Brain, 240x240, Image covers 240 mm x 240 mm, Slice index 120
FLAIR MRI.
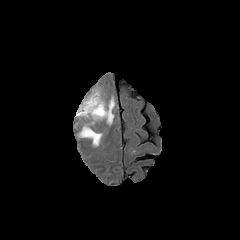
T1-weighted magnetic resonance.
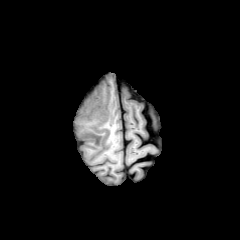
Post-contrast T1-weighted MRI.
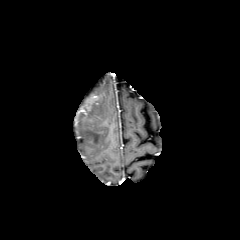
T2-weighted MR.
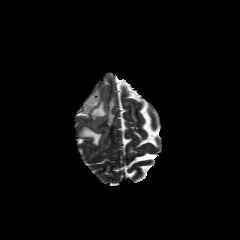
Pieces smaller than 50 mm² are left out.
Segmented structures:
- enhancing tumor: region(85, 95, 98, 110)
- peritumoral edema: region(77, 92, 114, 124); region(79, 126, 101, 145)